Head; 240x240 px
FLAIR MR.
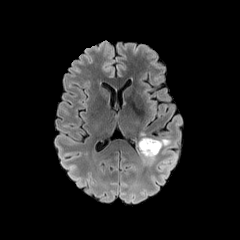
T1-weighted magnetic resonance.
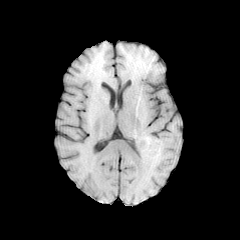
Post-contrast T1-weighted MR.
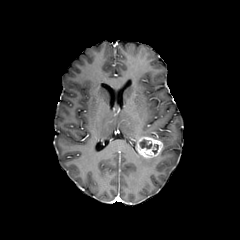
T2-weighted MRI.
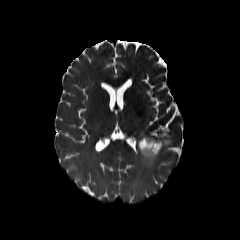
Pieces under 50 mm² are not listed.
{
  "necrotic_tumor_core": [
    "<box>140,140,151,148</box>"
  ],
  "peritumoral_edema": [
    "<box>141,156,156,165</box>",
    "<box>160,138,171,146</box>"
  ],
  "enhancing_tumor": [
    "<box>137,136,163,158</box>"
  ]
}